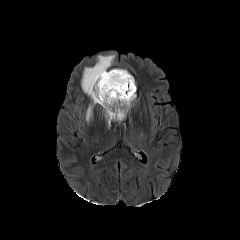
FLAIR MR.
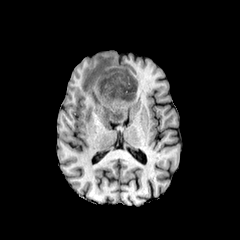
T1-weighted MRI.
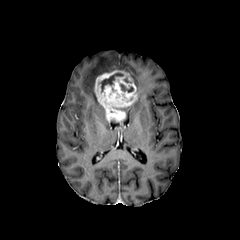
Same slice, post-contrast T1-weighted MRI.
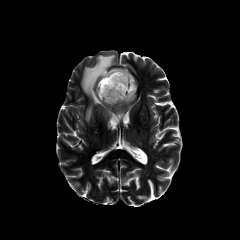
T2-weighted magnetic resonance.
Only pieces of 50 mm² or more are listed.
Segmented structures:
• enhancing tumor: [x1=94, y1=69, x2=136, y2=122]
• necrotic tumor core: [x1=120, y1=84, x2=133, y2=92], [x1=101, y1=73, x2=123, y2=91]
• peritumoral edema: [x1=81, y1=54, x2=114, y2=121]